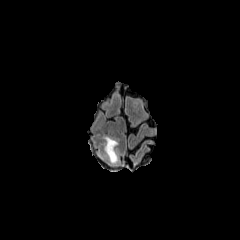
FLAIR magnetic resonance.
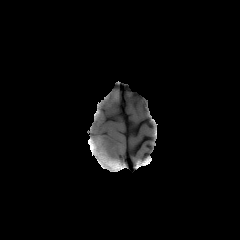
Same slice, T1-weighted MR image.
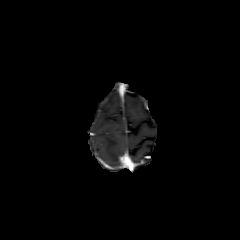
Post-contrast T1-weighted MR image.
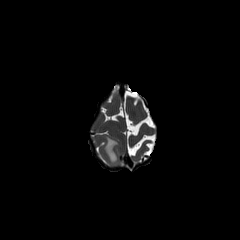
T2-weighted MR image.
Axial view | 240x240 | Head
peritumoral edema at <box>103,136,117,163</box>